Image size 240x240; Slice 98/155
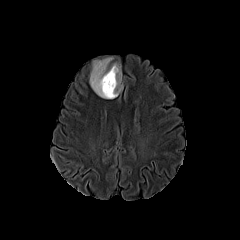
FLAIR MR.
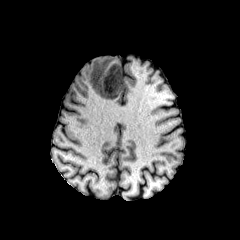
Same slice, T1-weighted MR.
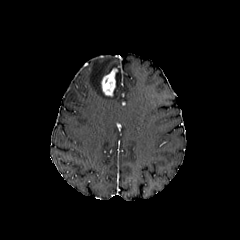
Same slice, post-contrast T1-weighted MR image.
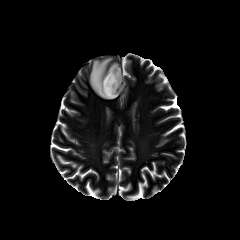
T2-weighted MRI.
peritumoral edema at [89,57,122,98]
enhancing tumor at [101,68,117,96]